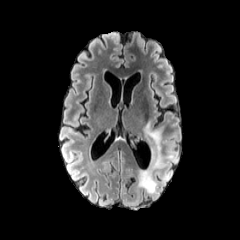
FLAIR MRI.
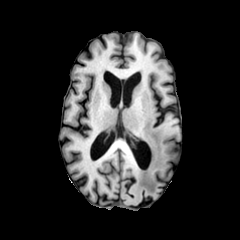
Same slice, T1-weighted magnetic resonance.
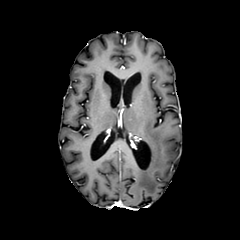
Post-contrast T1-weighted MR.
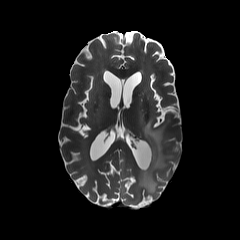
T2-weighted MR image.
Axial plane
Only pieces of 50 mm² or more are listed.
peritumoral_edema:
  - 138,122,163,193